Brain. 240x240 px. Axial slice.
FLAIR MRI.
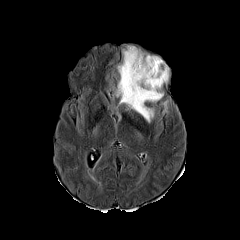
T1-weighted magnetic resonance.
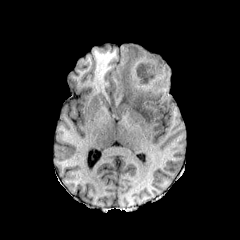
Post-contrast T1-weighted MRI.
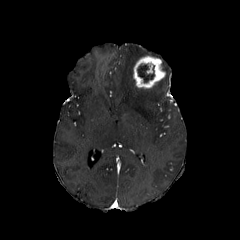
T2-weighted MR image.
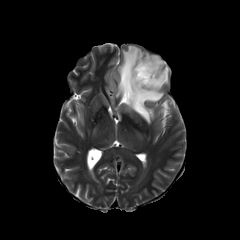
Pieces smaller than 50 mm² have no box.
Segmented structures:
- enhancing tumor: l=133, t=56, r=165, b=88
- peritumoral edema: l=116, t=45, r=169, b=123
- necrotic tumor core: l=137, t=64, r=154, b=82